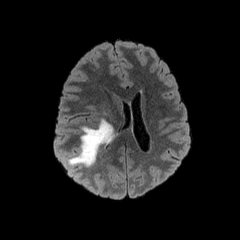
FLAIR MRI.
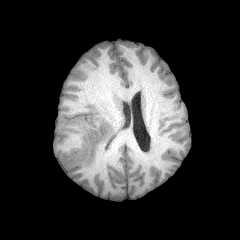
T1-weighted MR image.
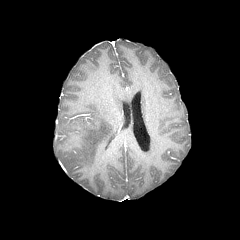
Same slice, post-contrast T1-weighted magnetic resonance.
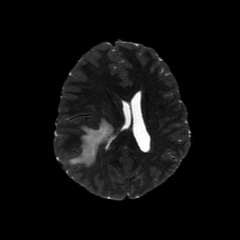
T2-weighted MRI.
Image size 240x240.
{
  "peritumoral_edema": [
    "bbox=[67, 119, 113, 166]"
  ]
}